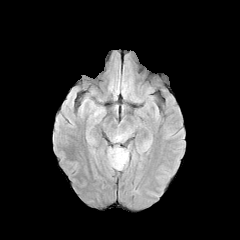
FLAIR MR.
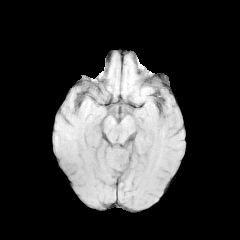
T1-weighted MRI.
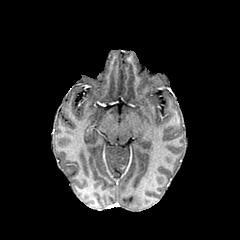
Post-contrast T1-weighted magnetic resonance.
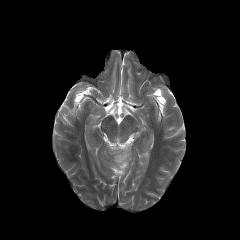
Same slice, T2-weighted magnetic resonance.
Image size 240x240; Brain
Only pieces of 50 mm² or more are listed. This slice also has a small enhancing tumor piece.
peritumoral edema at <box>114,134,126,141</box>, <box>108,146,129,170</box>